Brain. Image width 240 mm.
FLAIR magnetic resonance.
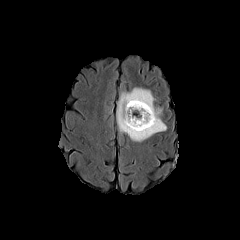
T1-weighted MR.
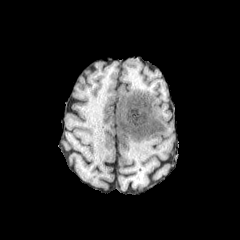
Post-contrast T1-weighted MRI.
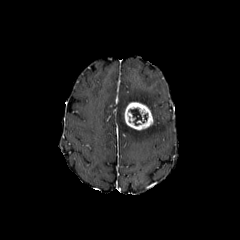
T2-weighted MRI.
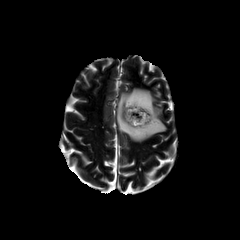
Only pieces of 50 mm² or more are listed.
{"enhancing_tumor": ["region(124, 102, 153, 130)"], "necrotic_tumor_core": ["region(130, 109, 141, 125)"], "peritumoral_edema": ["region(116, 88, 166, 141)"]}